FLAIR magnetic resonance.
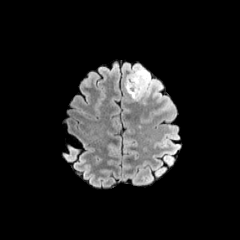
T1-weighted MR.
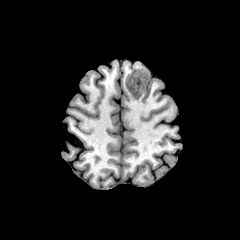
Post-contrast T1-weighted MR.
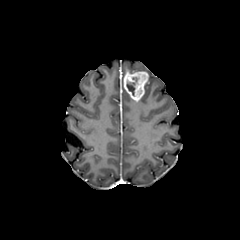
T2-weighted magnetic resonance.
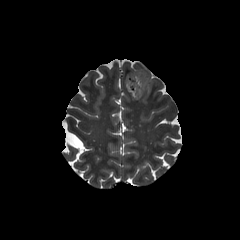
Axial view | Brain | 240x240
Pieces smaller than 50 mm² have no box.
enhancing tumor at region(124, 72, 148, 100)
peritumoral edema at region(144, 73, 155, 96); region(133, 67, 147, 72)
necrotic tumor core at region(126, 77, 137, 96)